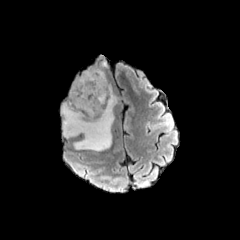
FLAIR MR image.
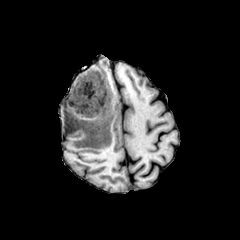
T1-weighted MRI of the same slice.
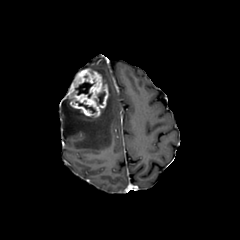
Post-contrast T1-weighted MR.
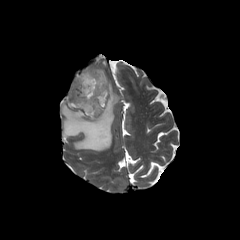
T2-weighted magnetic resonance.
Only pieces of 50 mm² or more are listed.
Segmented structures:
- peritumoral edema: rect(62, 86, 117, 151); rect(93, 70, 106, 83)
- enhancing tumor: rect(67, 69, 108, 117)
- necrotic tumor core: rect(75, 81, 94, 97); rect(78, 103, 96, 112); rect(98, 92, 105, 104)